Axial slice, Image size 240x240, Brain
FLAIR MR image.
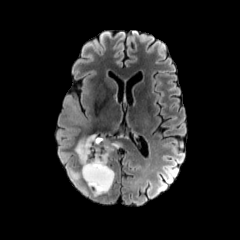
T1-weighted magnetic resonance.
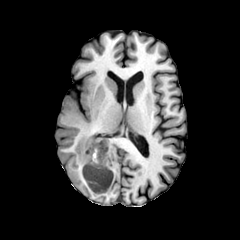
Post-contrast T1-weighted MR image.
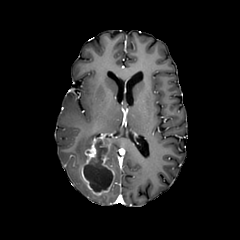
T2-weighted MR image.
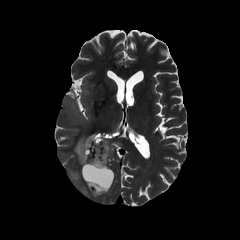
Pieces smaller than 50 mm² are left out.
- peritumoral edema: l=75, t=134, r=97, b=164; l=108, t=142, r=118, b=156; l=64, t=89, r=91, b=125
- enhancing tumor: l=81, t=137, r=114, b=195
- necrotic tumor core: l=83, t=139, r=113, b=192